Image width 240 mm, 1.00 mm slice spacing, Head, Axial view
FLAIR MR.
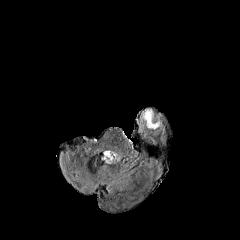
T1-weighted MR.
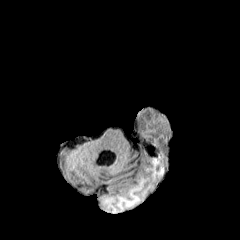
Post-contrast T1-weighted magnetic resonance.
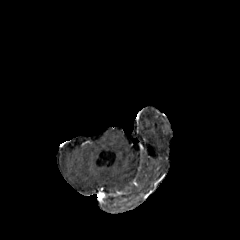
T2-weighted MR.
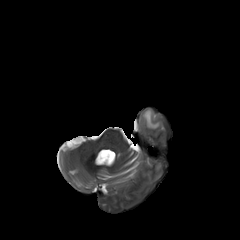
- peritumoral edema: {"x1": 143, "y1": 110, "x2": 160, "y2": 128}